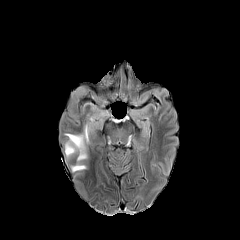
FLAIR MR image.
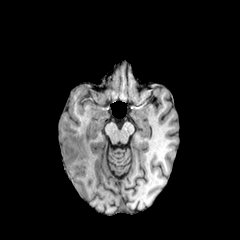
Same slice, T1-weighted magnetic resonance.
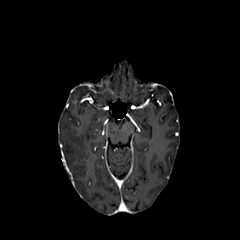
Post-contrast T1-weighted MR image.
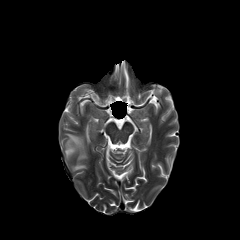
T2-weighted MRI of the same slice.
240x240; Axial slice
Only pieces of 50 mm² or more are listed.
peritumoral edema = x1=72, y1=165, x2=85, y2=171; x1=65, y1=134, x2=86, y2=160